Head | Slice index 125
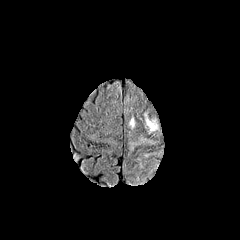
FLAIR MRI.
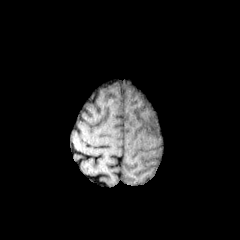
T1-weighted MR image.
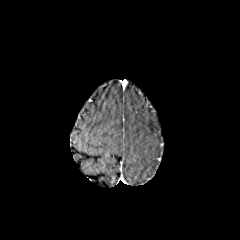
Post-contrast T1-weighted magnetic resonance of the same slice.
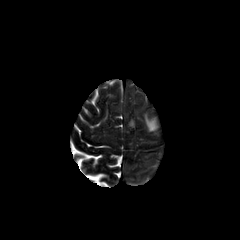
T2-weighted MR image.
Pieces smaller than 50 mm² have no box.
peritumoral_edema:
  - 131, 137, 153, 150
  - 146, 119, 156, 130